FLAIR MRI.
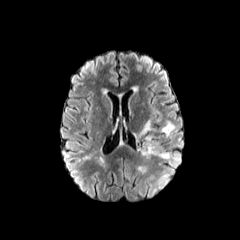
T1-weighted MR image.
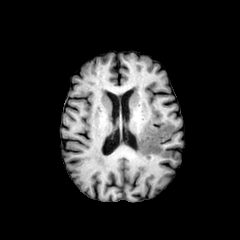
Post-contrast T1-weighted MR.
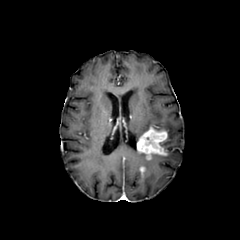
T2-weighted MRI.
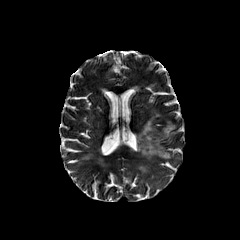
Axial slice. 240x240.
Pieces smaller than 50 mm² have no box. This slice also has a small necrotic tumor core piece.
The 3 largest peritumoral edema regions are located at <box>134,118,153,141</box>, <box>162,121,175,138</box>, <box>152,152,173,159</box>. The largest enhancing tumor region is bounded by <box>137,126,167,159</box>.